Slice 101 of 155, Axial plane, Brain
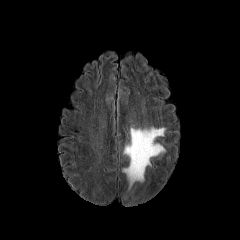
FLAIR magnetic resonance.
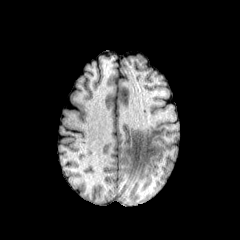
T1-weighted MRI.
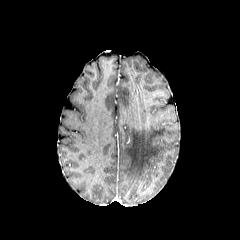
Post-contrast T1-weighted MR of the same slice.
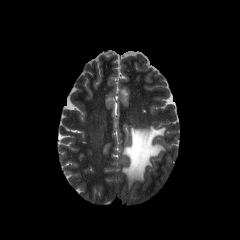
T2-weighted MRI of the same slice.
peritumoral edema: bounding box box(122, 126, 165, 186)